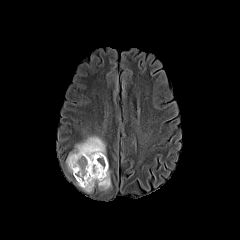
FLAIR MR.
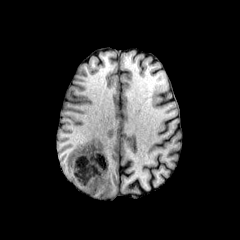
T1-weighted MR image.
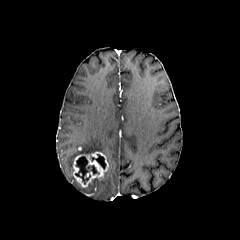
Post-contrast T1-weighted MR image.
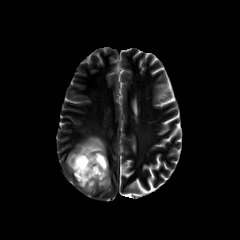
T2-weighted MR of the same slice.
Axial slice
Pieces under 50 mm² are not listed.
{
  "necrotic_tumor_core": [
    "bbox(91, 154, 105, 169)",
    "bbox(75, 156, 97, 184)"
  ],
  "enhancing_tumor": [
    "bbox(73, 151, 108, 187)"
  ],
  "peritumoral_edema": [
    "bbox(77, 169, 111, 192)",
    "bbox(66, 136, 106, 174)"
  ]
}